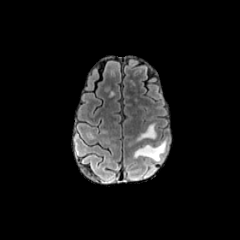
FLAIR MR.
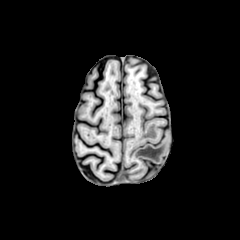
T1-weighted MR.
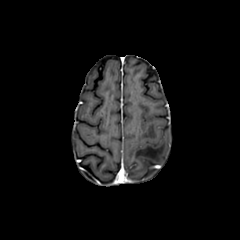
Same slice, post-contrast T1-weighted magnetic resonance.
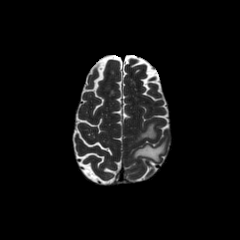
T2-weighted MRI.
Head
{"peritumoral_edema": ["bbox(133, 139, 167, 161)", "bbox(137, 123, 156, 140)"]}